Brain
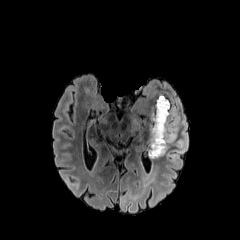
FLAIR magnetic resonance.
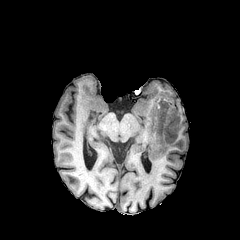
T1-weighted MR image.
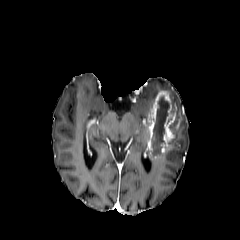
Same slice, post-contrast T1-weighted MR image.
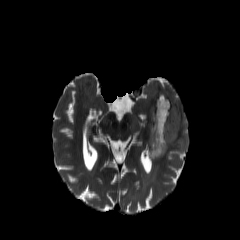
T2-weighted magnetic resonance.
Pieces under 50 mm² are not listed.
The largest peritumoral edema region lies within (x1=150, y1=88, x2=188, y2=168). The 2 largest necrotic tumor core regions appear at (x1=169, y1=118, x2=177, y2=133), (x1=152, y1=96, x2=169, y2=155). The enhancing tumor is located at (x1=146, y1=90, x2=180, y2=159).